FLAIR MRI.
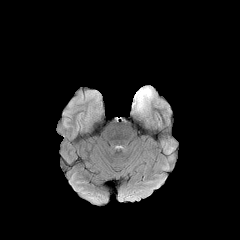
T1-weighted MRI.
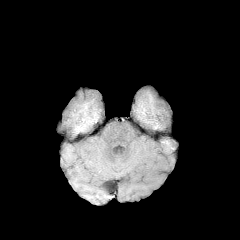
Post-contrast T1-weighted magnetic resonance.
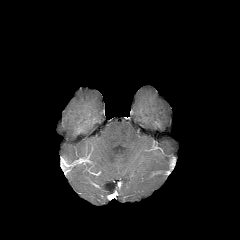
T2-weighted magnetic resonance.
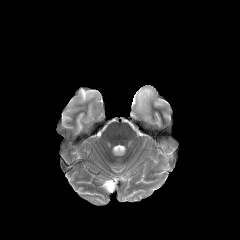
Brain
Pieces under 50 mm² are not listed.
{
  "peritumoral_edema": [
    "box(132, 86, 155, 115)"
  ]
}